Image size 240x240; Image width 240 mm
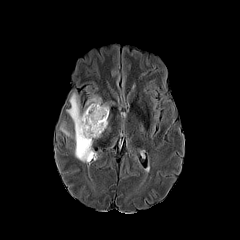
FLAIR MRI.
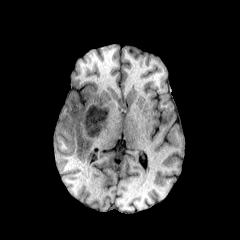
T1-weighted MR of the same slice.
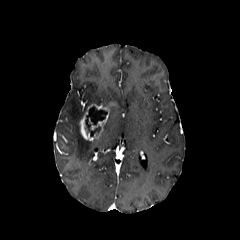
Post-contrast T1-weighted MRI.
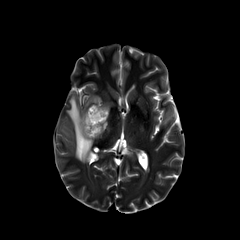
T2-weighted MR image.
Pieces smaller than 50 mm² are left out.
enhancing tumor — (x1=79, y1=103, x2=109, y2=140)
necrotic tumor core — (x1=85, y1=106, x2=107, y2=136)
peritumoral edema — (x1=66, y1=93, x2=93, y2=162), (x1=60, y1=124, x2=72, y2=137), (x1=86, y1=95, x2=101, y2=106)